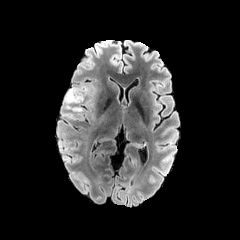
FLAIR MR image.
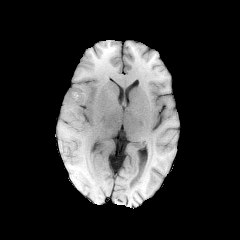
T1-weighted MR image.
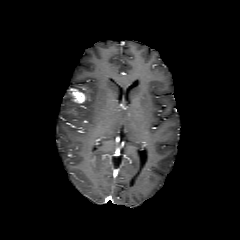
Post-contrast T1-weighted MR image.
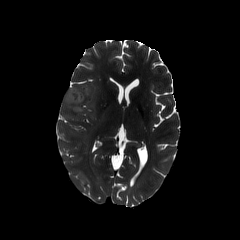
Same slice, T2-weighted MR.
Head | Image size 240x240
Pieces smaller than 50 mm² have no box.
The largest peritumoral edema region is bounded by 64, 90, 74, 109. The enhancing tumor is at 69, 89, 86, 103.